FLAIR MR.
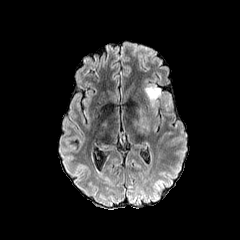
T1-weighted MR image.
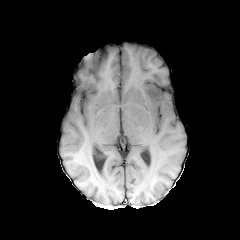
Post-contrast T1-weighted MR image.
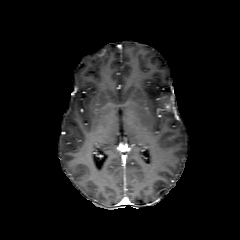
T2-weighted MR.
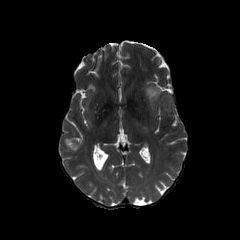
Head | Axial slice
2 peritumoral edema regions appear at (left=139, top=109, right=149, bottom=126), (left=144, top=85, right=161, bottom=106). The enhancing tumor lies within (left=160, top=95, right=172, bottom=112).